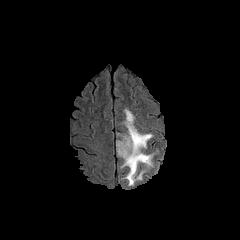
FLAIR MR image.
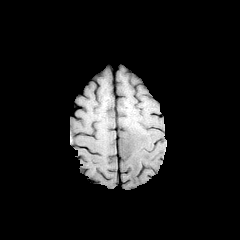
T1-weighted magnetic resonance of the same slice.
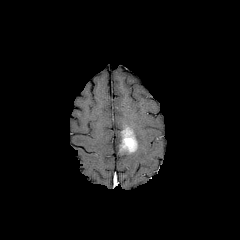
Post-contrast T1-weighted MR image.
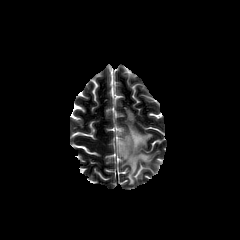
T2-weighted magnetic resonance of the same slice.
Axial slice; Image size 240x240
The peritumoral edema appears at [116,109,154,186]. The enhancing tumor appears at [119,127,137,153].